FLAIR MR image.
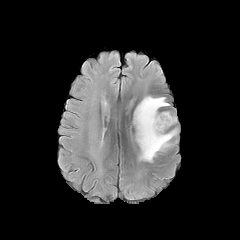
T1-weighted MR image.
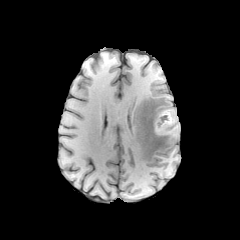
Post-contrast T1-weighted MR.
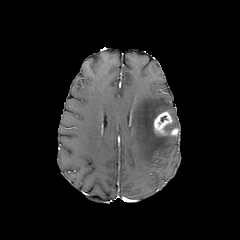
T2-weighted MRI.
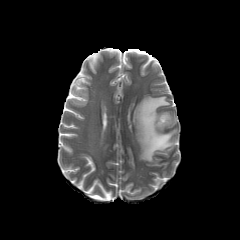
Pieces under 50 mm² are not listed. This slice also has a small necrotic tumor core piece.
peritumoral_edema:
  - [x1=133, y1=96, x2=174, y2=161]
enhancing_tumor:
  - [x1=153, y1=112, x2=172, y2=136]
  - [x1=170, y1=128, x2=178, y2=135]